Slice 82 of 155. Brain.
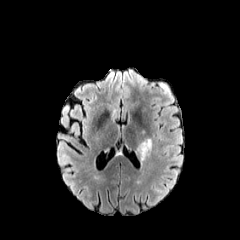
FLAIR MRI.
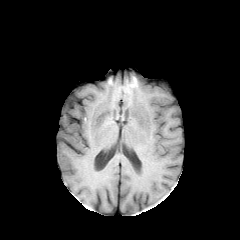
T1-weighted magnetic resonance of the same slice.
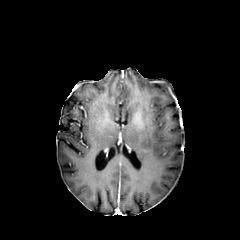
Post-contrast T1-weighted magnetic resonance.
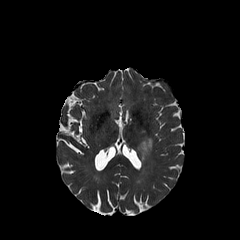
Same slice, T2-weighted MRI.
The peritumoral edema is at x1=137, y1=138, x2=152, y2=160.